Slice 112 of 155 | 240x240 px
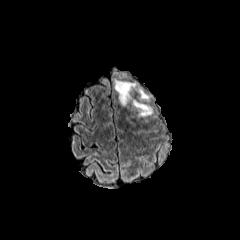
FLAIR MR image.
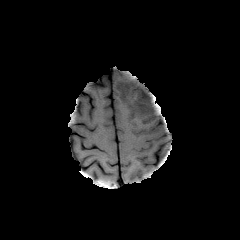
Same slice, T1-weighted MRI.
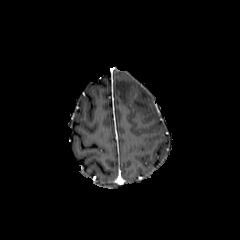
Post-contrast T1-weighted MR image.
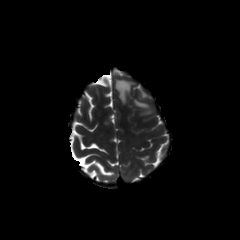
T2-weighted MR image of the same slice.
peritumoral edema = [115, 79, 153, 116], [139, 88, 150, 99]